Brain | Image width 240 mm | Image size 240x240
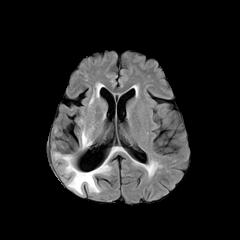
FLAIR magnetic resonance.
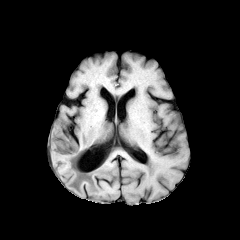
T1-weighted MR.
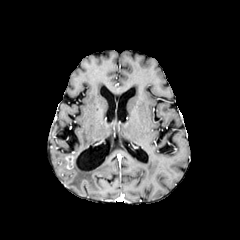
Post-contrast T1-weighted magnetic resonance of the same slice.
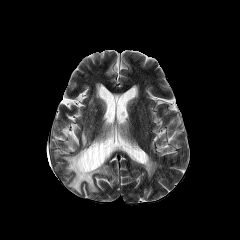
T2-weighted MRI of the same slice.
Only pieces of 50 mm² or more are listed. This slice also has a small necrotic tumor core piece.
Segmented structures:
* peritumoral edema: (81,128,92,148), (89,91,98,105), (53,153,67,161), (64,147,121,192)
* enhancing tumor: (64,155,75,169)